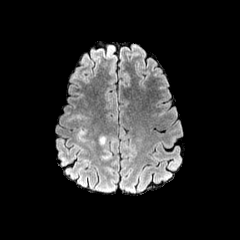
FLAIR MR.
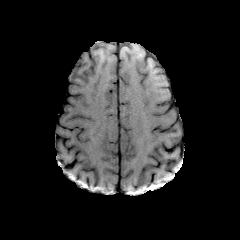
Same slice, T1-weighted MRI.
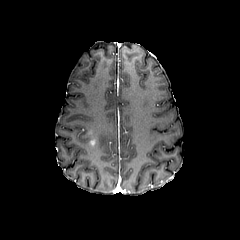
Same slice, post-contrast T1-weighted magnetic resonance.
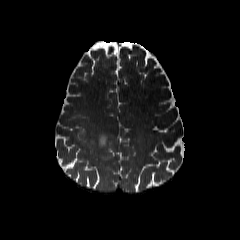
T2-weighted MRI.
Axial view. Head.
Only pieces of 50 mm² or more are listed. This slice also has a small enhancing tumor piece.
Annotated regions:
* peritumoral edema: bbox=[99, 134, 111, 159]